FLAIR MR.
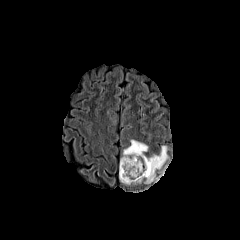
T1-weighted MRI.
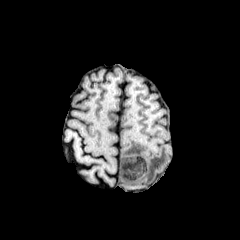
Post-contrast T1-weighted magnetic resonance.
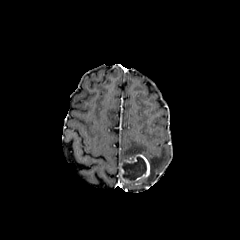
T2-weighted MR image.
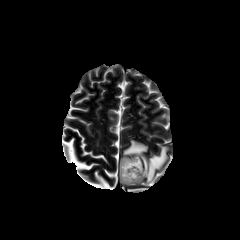
Brain
peritumoral edema: bounding box (144, 146, 168, 183), (120, 140, 148, 162)
enhancing tumor: bounding box (119, 154, 150, 184)
necrotic tumor core: bounding box (122, 157, 146, 180)